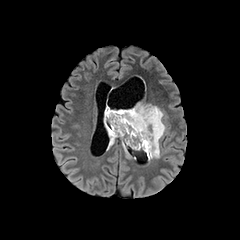
FLAIR MR image.
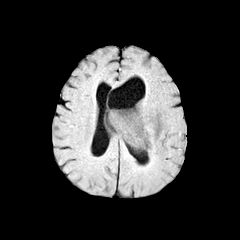
T1-weighted MR of the same slice.
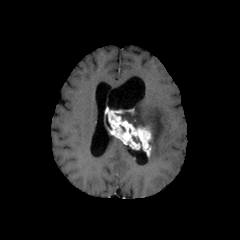
Post-contrast T1-weighted MRI.
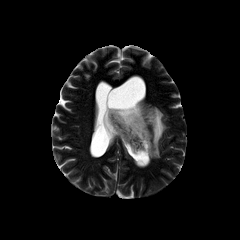
Same slice, T2-weighted MRI.
240x240
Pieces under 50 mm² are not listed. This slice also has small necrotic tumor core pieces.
The 3 largest peritumoral edema regions are bounded by [122,142,131,158], [116,102,166,160], [107,132,116,149]. The enhancing tumor is bounded by [105,107,151,156].